FLAIR MRI.
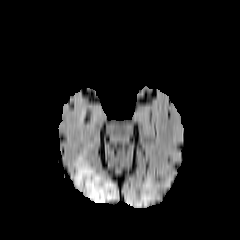
T1-weighted MR image.
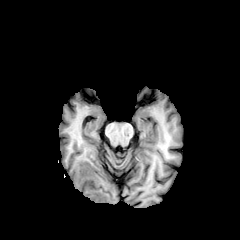
Post-contrast T1-weighted MR.
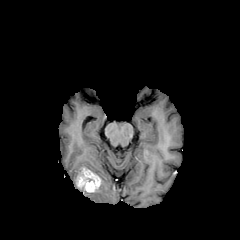
T2-weighted MRI.
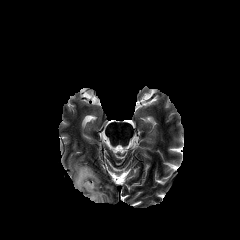
240x240
enhancing tumor — (76,167,101,192)
peritumoral edema — (83,174,115,202), (74,158,96,185)